Image size 240x240
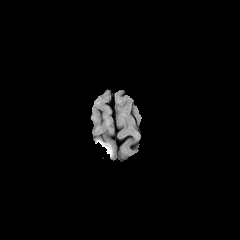
FLAIR MR.
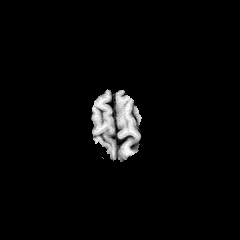
T1-weighted magnetic resonance.
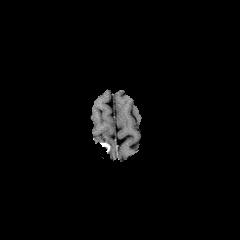
Post-contrast T1-weighted MR image of the same slice.
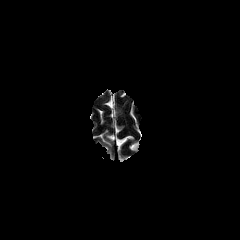
T2-weighted MR.
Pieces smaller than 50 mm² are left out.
<segmentation>
  <peritumoral_edema><bbox>103, 142, 113, 157</bbox></peritumoral_edema>
  <enhancing_tumor><bbox>100, 142, 110, 151</bbox></enhancing_tumor>
</segmentation>